Image width 240 mm, 1.00 mm slice spacing
FLAIR MR.
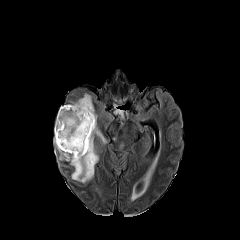
T1-weighted MR.
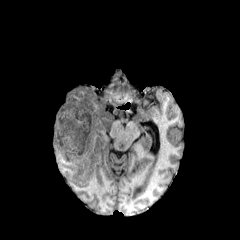
Post-contrast T1-weighted MR.
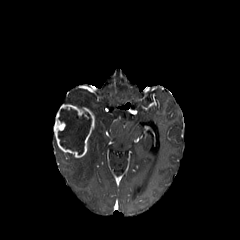
T2-weighted MR.
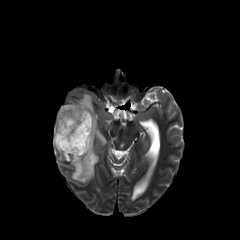
enhancing tumor at [54, 104, 94, 157]
necrotic tumor core at [58, 107, 91, 154]
peritumoral edema at [131, 181, 147, 202], [114, 109, 123, 115], [54, 94, 106, 183]